Axial slice.
FLAIR MRI.
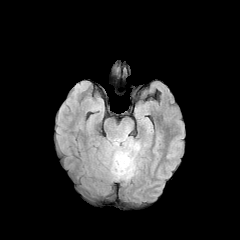
T1-weighted magnetic resonance.
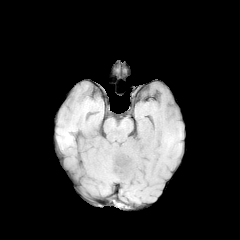
Post-contrast T1-weighted MR image.
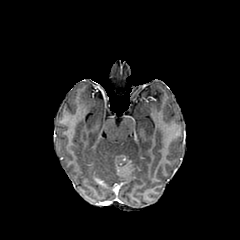
T2-weighted MRI.
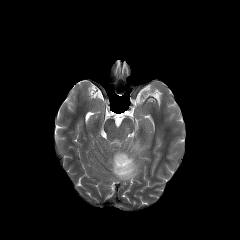
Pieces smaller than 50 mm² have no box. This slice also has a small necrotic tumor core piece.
peritumoral edema: [104, 125, 140, 181] | enhancing tumor: [114, 154, 134, 179]